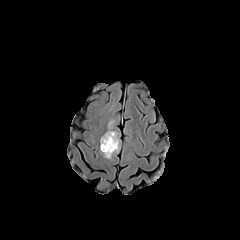
FLAIR MR image.
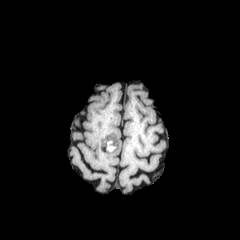
T1-weighted magnetic resonance.
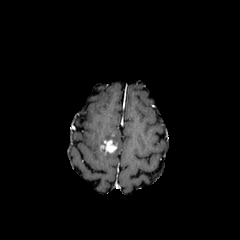
Post-contrast T1-weighted MR.
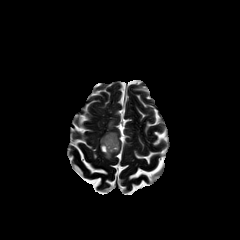
T2-weighted MR.
Head.
Segmented structures:
* peritumoral edema: rect(100, 121, 120, 158)
* enhancing tumor: rect(100, 139, 117, 153)